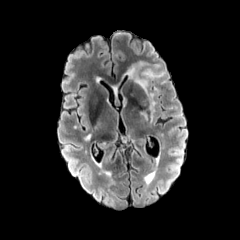
FLAIR magnetic resonance.
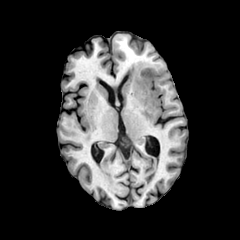
T1-weighted MR.
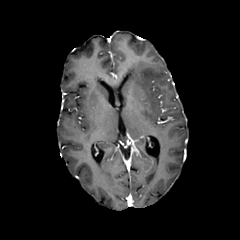
Post-contrast T1-weighted MRI.
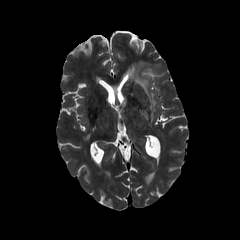
Same slice, T2-weighted MR image.
Image size 240x240
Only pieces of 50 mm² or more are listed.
peritumoral edema: 124:61:163:121